FLAIR magnetic resonance.
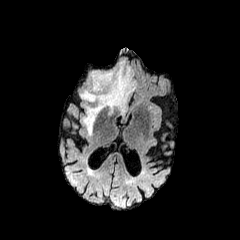
T1-weighted MR image.
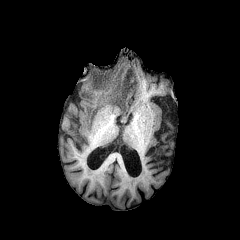
Post-contrast T1-weighted magnetic resonance.
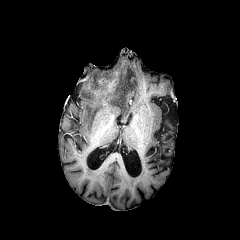
T2-weighted MR.
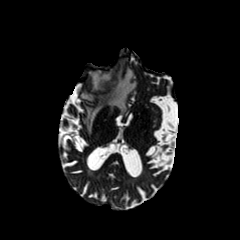
Brain, Axial slice, 240x240 px
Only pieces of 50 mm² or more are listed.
The largest enhancing tumor region is at box(96, 77, 117, 91). The peritumoral edema is at box(80, 61, 136, 134).